FLAIR MR image.
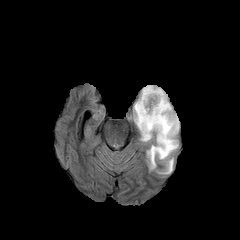
T1-weighted MR.
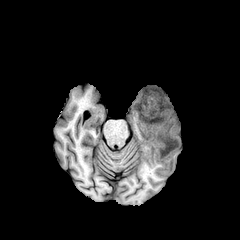
Post-contrast T1-weighted MR image.
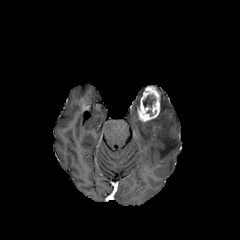
T2-weighted magnetic resonance.
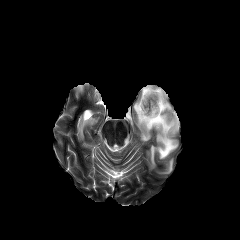
Axial plane, Head
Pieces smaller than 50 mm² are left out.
<segmentation>
  <enhancing_tumor>(x1=137, y1=86, x2=162, y2=122)</enhancing_tumor>
  <peritumoral_edema>(x1=162, y1=158, x2=173, y2=173), (x1=133, y1=87, x2=179, y2=169)</peritumoral_edema>
  <necrotic_tumor_core>(x1=143, y1=96, x2=154, y2=107)</necrotic_tumor_core>
</segmentation>